FLAIR MRI.
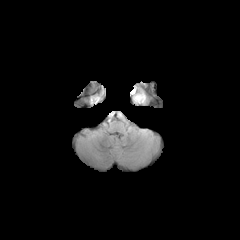
T1-weighted MRI.
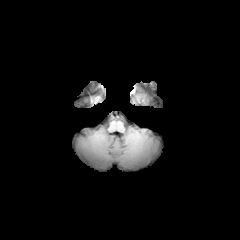
Post-contrast T1-weighted MR image.
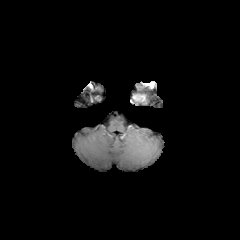
T2-weighted MR image.
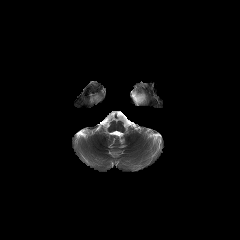
Head
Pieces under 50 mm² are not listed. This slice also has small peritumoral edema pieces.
The enhancing tumor lies within (133,94,145,101).